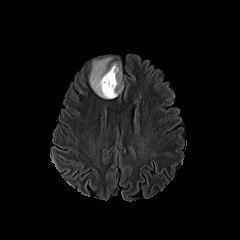
FLAIR MRI.
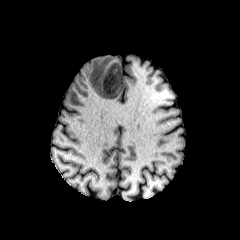
Same slice, T1-weighted MR.
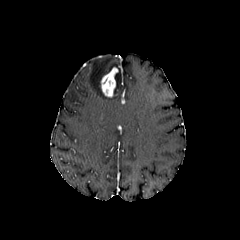
Post-contrast T1-weighted MRI.
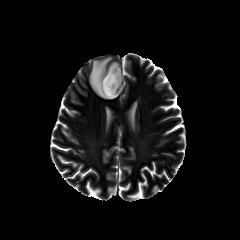
T2-weighted magnetic resonance of the same slice.
240x240 px
enhancing tumor: (100,67,118,97) | peritumoral edema: (89,57,123,98)